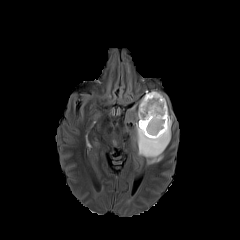
FLAIR magnetic resonance.
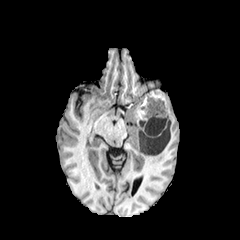
T1-weighted MR image.
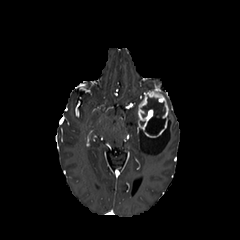
Post-contrast T1-weighted MRI.
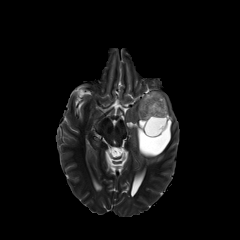
T2-weighted MR image of the same slice.
Axial slice.
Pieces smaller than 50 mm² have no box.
The largest peritumoral edema region is located at <bbox>125, 106, 173, 164</bbox>. The enhancing tumor is at <bbox>138, 89, 168, 137</bbox>. The largest necrotic tumor core region is bounded by <bbox>141, 96, 165, 135</bbox>.